FLAIR MR image.
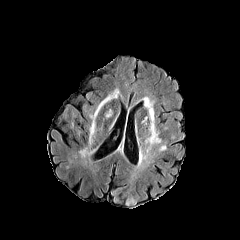
T1-weighted magnetic resonance.
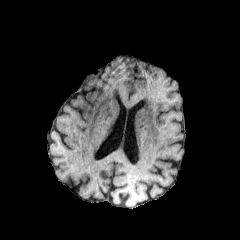
Post-contrast T1-weighted MR.
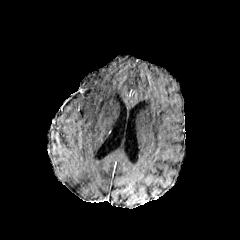
T2-weighted MR image.
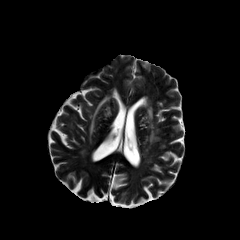
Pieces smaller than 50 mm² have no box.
The largest peritumoral edema region is bounded by rect(89, 94, 111, 144).